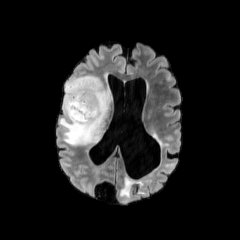
FLAIR MRI.
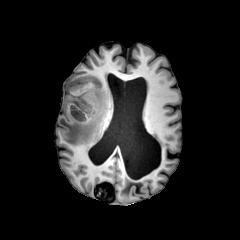
T1-weighted MR image of the same slice.
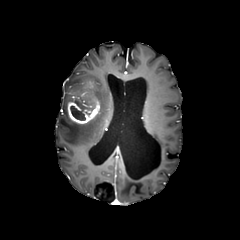
Post-contrast T1-weighted MR.
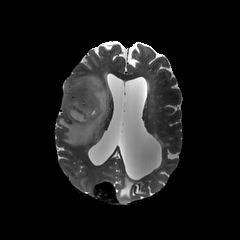
Same slice, T2-weighted MR.
Axial slice | Brain
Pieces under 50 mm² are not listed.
necrotic tumor core: [70,98,93,120] | peritumoral edema: [58,75,111,145] | enhancing tumor: [67,92,100,124]